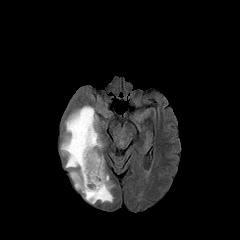
FLAIR MR image.
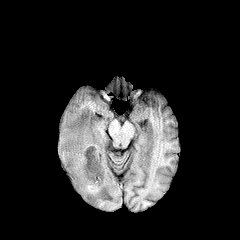
Same slice, T1-weighted MR image.
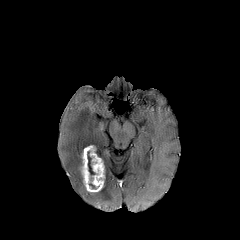
Post-contrast T1-weighted MRI.
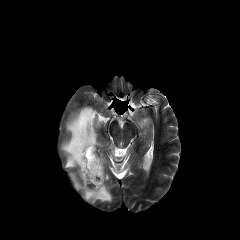
T2-weighted MRI.
Axial slice
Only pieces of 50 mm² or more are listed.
peritumoral_edema:
  - 60 105 113 203
necrotic_tumor_core:
  - 87 152 94 175
enhancing_tumor:
  - 80 145 105 192